FLAIR MR.
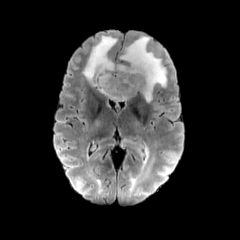
T1-weighted MR image.
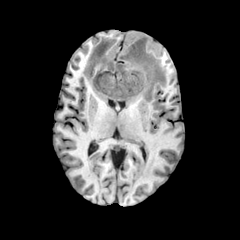
Post-contrast T1-weighted magnetic resonance.
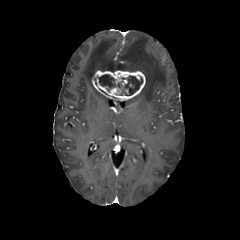
T2-weighted MRI.
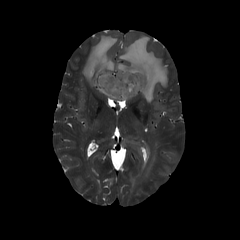
Axial plane, 240x240 px, Brain
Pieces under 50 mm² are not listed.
{
  "enhancing_tumor": [
    "left=92, top=70, right=145, bottom=100"
  ],
  "necrotic_tumor_core": [
    "left=122, top=76, right=142, bottom=95",
    "left=97, top=74, right=115, bottom=90"
  ],
  "peritumoral_edema": [
    "left=83, top=35, right=167, bottom=102",
    "left=130, top=142, right=156, bottom=194"
  ]
}